FLAIR magnetic resonance.
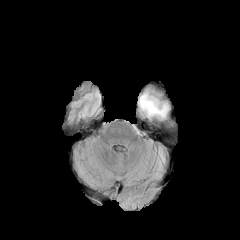
T1-weighted magnetic resonance.
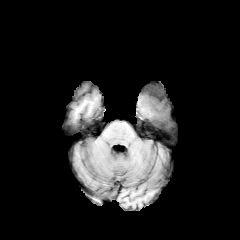
Post-contrast T1-weighted MR image.
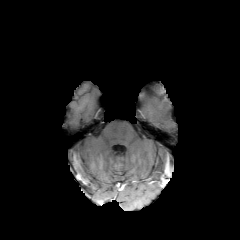
T2-weighted MR image.
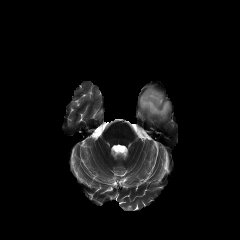
Head, Image size 240x240
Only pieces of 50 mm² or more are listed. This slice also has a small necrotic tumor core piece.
Annotated regions:
* peritumoral edema: x1=139 y1=88 x2=169 y2=119